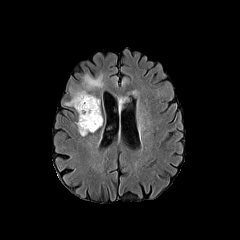
FLAIR MR.
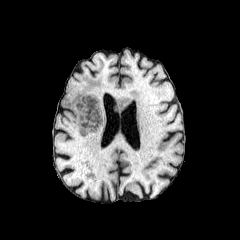
Same slice, T1-weighted magnetic resonance.
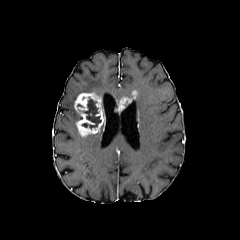
Same slice, post-contrast T1-weighted magnetic resonance.
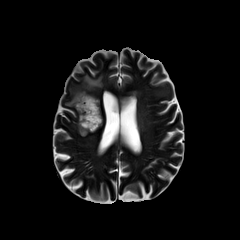
T2-weighted MRI.
Axial view | Brain
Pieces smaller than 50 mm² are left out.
The 2 largest enhancing tumor regions are bounded by x1=114 y1=97 x2=135 y2=113, x1=74 y1=92 x2=104 y2=136. The largest necrotic tumor core region is at x1=82 y1=99 x2=101 y2=129. The largest peritumoral edema region is located at x1=65 y1=74 x2=103 y2=106.